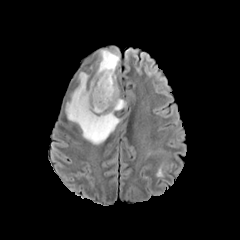
FLAIR MR.
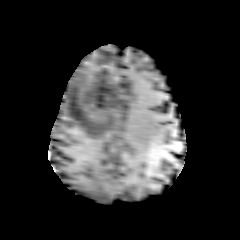
T1-weighted MR image.
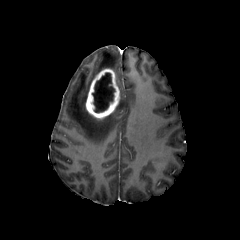
Post-contrast T1-weighted MRI.
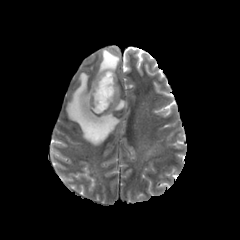
T2-weighted MR image.
Head, Axial view
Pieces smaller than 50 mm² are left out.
Segmented structures:
- necrotic tumor core: box(92, 73, 114, 112)
- peritumoral edema: box(115, 99, 126, 110); box(96, 49, 119, 73); box(66, 72, 120, 144)
- enhancing tumor: box(85, 68, 120, 119)